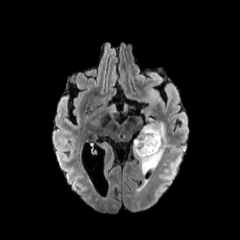
FLAIR MRI.
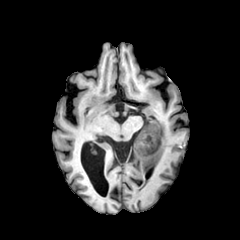
T1-weighted MR image.
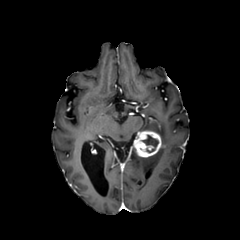
Post-contrast T1-weighted MR image of the same slice.
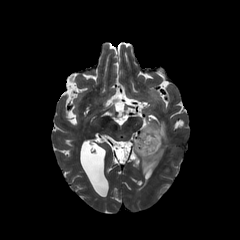
Same slice, T2-weighted magnetic resonance.
enhancing_tumor:
  - left=133, top=130, right=161, bottom=157
necrotic_tumor_core:
  - left=142, top=135, right=158, bottom=152
peritumoral_edema:
  - left=133, top=120, right=167, bottom=173